FLAIR MR image.
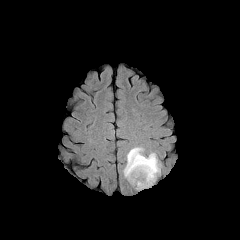
T1-weighted MR image.
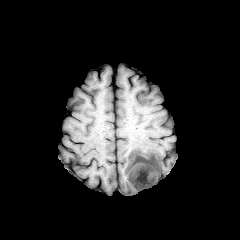
Post-contrast T1-weighted MR image.
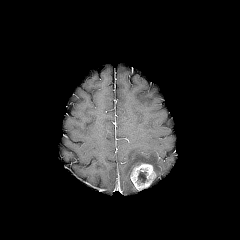
T2-weighted MR image.
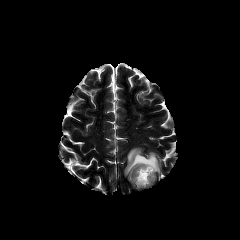
Head
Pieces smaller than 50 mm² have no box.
{
  "peritumoral_edema": [
    "[123,147,160,185]"
  ],
  "necrotic_tumor_core": [
    "[138,171,146,182]"
  ],
  "enhancing_tumor": [
    "[130,163,156,190]"
  ]
}